Image covers 240 mm x 240 mm, Axial plane, Slice 66 of 155, 240x240 px, Head
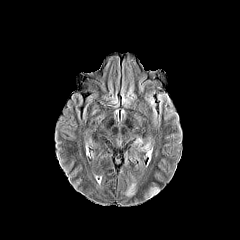
FLAIR MRI.
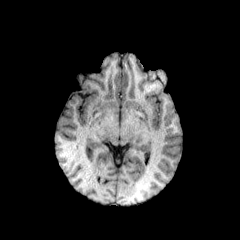
Same slice, T1-weighted MRI.
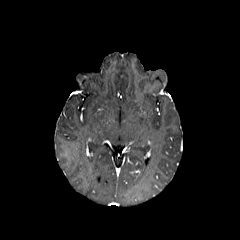
Post-contrast T1-weighted MR image.
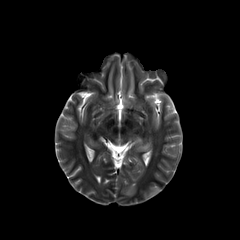
T2-weighted magnetic resonance of the same slice.
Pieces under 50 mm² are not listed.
The largest peritumoral edema region appears at (126,183,135,196).